Slice 53 of 155 | Axial view
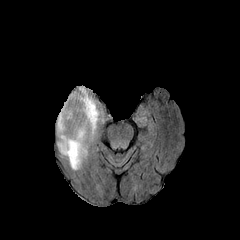
FLAIR magnetic resonance.
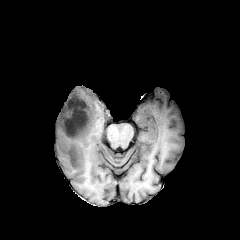
T1-weighted MRI.
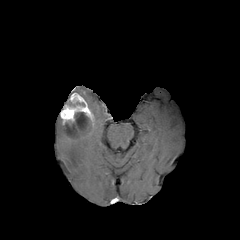
Post-contrast T1-weighted magnetic resonance.
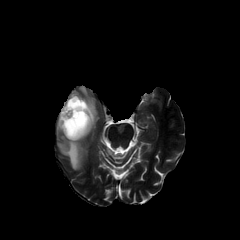
T2-weighted magnetic resonance.
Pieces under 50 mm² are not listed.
Findings:
• enhancing tumor: rect(60, 92, 94, 141)
• peritumoral edema: rect(56, 86, 101, 170)
• necrotic tumor core: rect(75, 109, 91, 135); rect(65, 123, 79, 139); rect(67, 100, 84, 106)